FLAIR MR image.
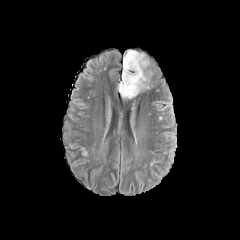
T1-weighted MRI.
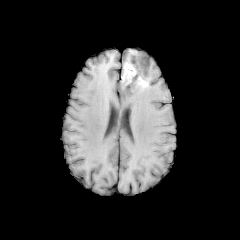
Post-contrast T1-weighted magnetic resonance.
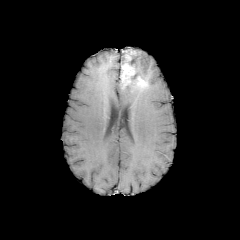
T2-weighted magnetic resonance.
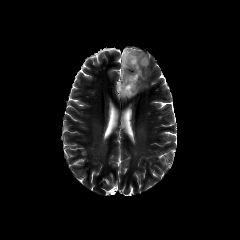
Axial plane, Head
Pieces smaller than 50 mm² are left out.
The 2 largest peritumoral edema regions are bounded by left=117, top=83, right=142, bottom=98; left=136, top=51, right=149, bottom=80. The largest necrotic tumor core region lies within left=129, top=53, right=146, bottom=80. The enhancing tumor is at left=120, top=51, right=147, bottom=92.